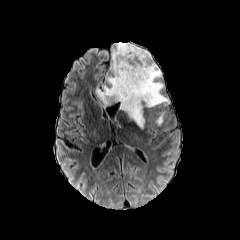
FLAIR MR image.
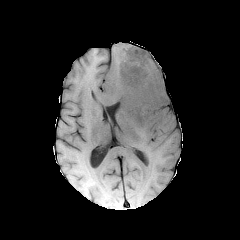
T1-weighted MR image of the same slice.
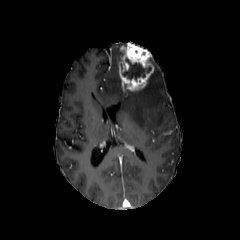
Post-contrast T1-weighted MR image.
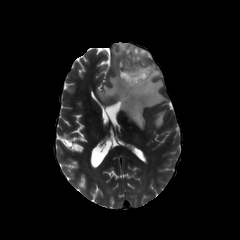
Same slice, T2-weighted MRI.
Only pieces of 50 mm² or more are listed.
The enhancing tumor lies within [118, 42, 154, 92]. 2 peritumoral edema regions are bounded by [96, 42, 168, 128], [155, 111, 164, 126]. The largest necrotic tumor core region is bounded by [122, 58, 151, 79].